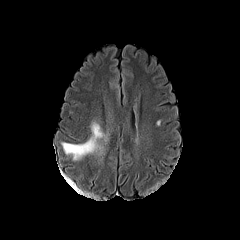
FLAIR MRI.
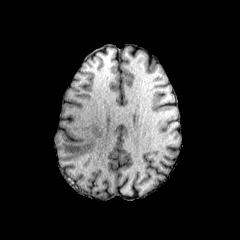
T1-weighted magnetic resonance of the same slice.
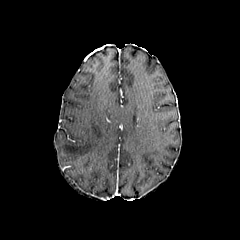
Post-contrast T1-weighted MR.
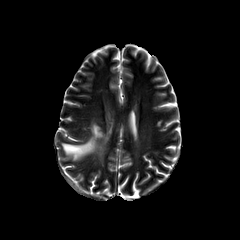
T2-weighted MRI of the same slice.
peritumoral edema = x1=61 y1=122 x2=107 y2=160